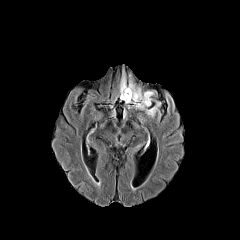
FLAIR MR.
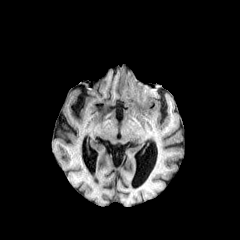
T1-weighted MRI.
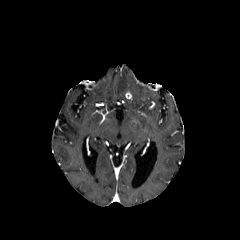
Same slice, post-contrast T1-weighted magnetic resonance.
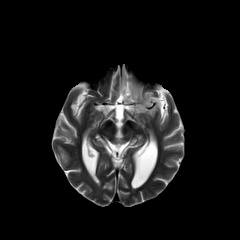
T2-weighted MRI.
240x240 px
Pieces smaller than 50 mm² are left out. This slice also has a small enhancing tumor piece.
* peritumoral edema: (left=119, top=69, right=160, bottom=117)